FLAIR MR.
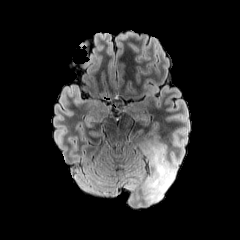
T1-weighted magnetic resonance.
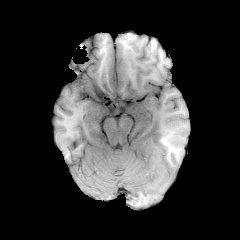
Post-contrast T1-weighted MR.
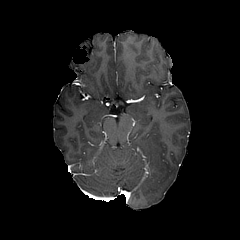
T2-weighted magnetic resonance.
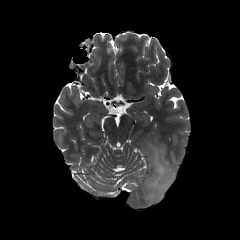
Brain.
peritumoral_edema:
  - (x1=144, y1=142, x2=176, y2=203)